Image covers 240 mm x 240 mm | Axial plane
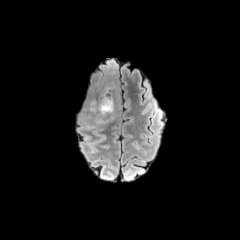
FLAIR MRI.
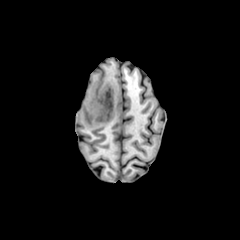
T1-weighted MRI.
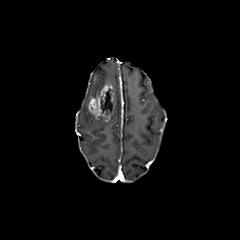
Post-contrast T1-weighted MR of the same slice.
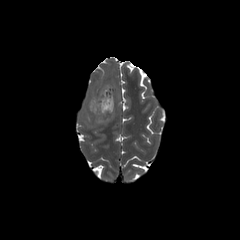
T2-weighted MRI.
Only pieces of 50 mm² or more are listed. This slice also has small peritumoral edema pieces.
enhancing tumor — 88 83 115 121
necrotic tumor core — 101 89 112 115